FLAIR MR.
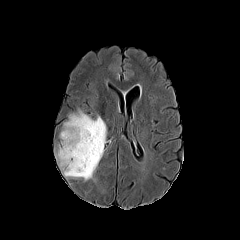
T1-weighted MR.
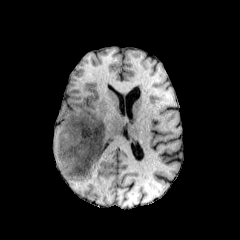
Post-contrast T1-weighted MRI.
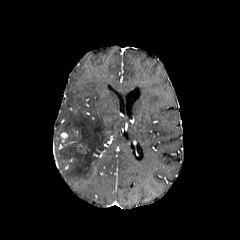
T2-weighted magnetic resonance.
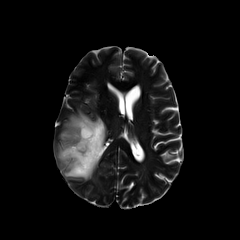
Brain | Image size 240x240 | Axial slice
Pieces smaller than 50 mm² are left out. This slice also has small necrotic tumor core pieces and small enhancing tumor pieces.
* peritumoral edema: left=55, top=111, right=106, bottom=180